FLAIR magnetic resonance.
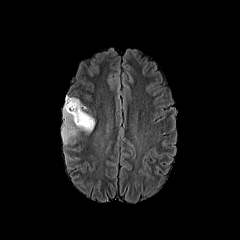
T1-weighted magnetic resonance.
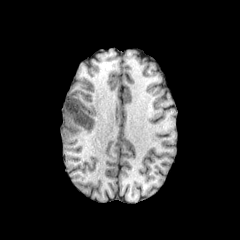
Post-contrast T1-weighted MR image.
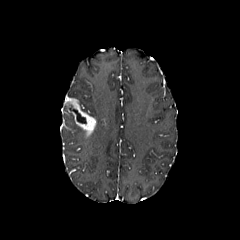
T2-weighted MR.
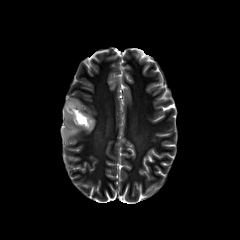
Axial plane; Head
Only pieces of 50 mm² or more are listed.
The necrotic tumor core is at [67,105,86,123]. The enhancing tumor is located at [64,96,95,135]. The largest peritumoral edema region is located at [62,113,82,144].